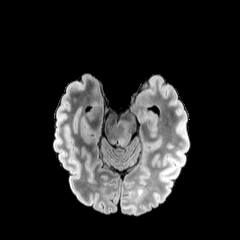
FLAIR magnetic resonance.
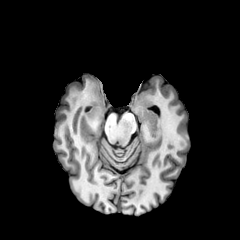
T1-weighted MR of the same slice.
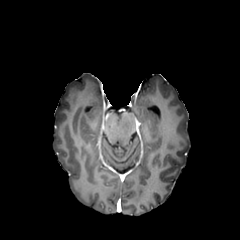
Post-contrast T1-weighted magnetic resonance.
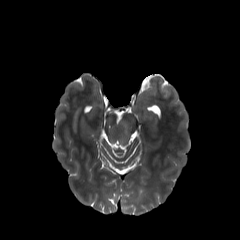
T2-weighted MR image of the same slice.
Brain.
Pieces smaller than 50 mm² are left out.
{"peritumoral_edema": [{"x1": 123, "y1": 121, "x2": 129, "y2": 132}]}